Brain; Slice 59/155; Axial slice
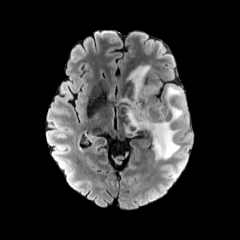
FLAIR MR.
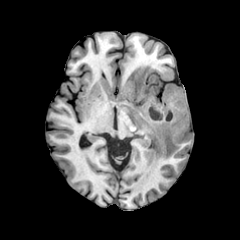
T1-weighted magnetic resonance of the same slice.
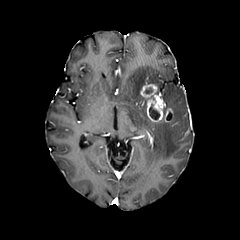
Post-contrast T1-weighted MR of the same slice.
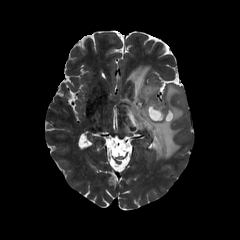
T2-weighted magnetic resonance of the same slice.
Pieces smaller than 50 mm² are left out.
Segmented structures:
* necrotic tumor core: bbox(149, 104, 159, 119)
* enhancing tumor: bbox(140, 84, 173, 122)
* peritumoral edema: bbox(124, 65, 185, 159)